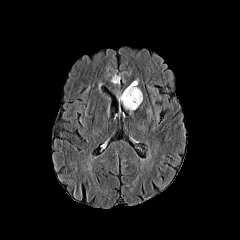
FLAIR magnetic resonance.
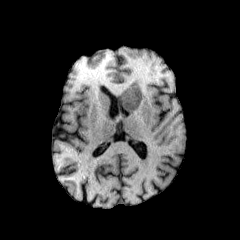
Same slice, T1-weighted MRI.
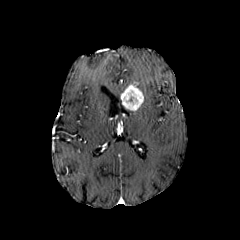
Same slice, post-contrast T1-weighted MR.
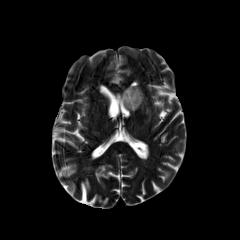
Same slice, T2-weighted MR.
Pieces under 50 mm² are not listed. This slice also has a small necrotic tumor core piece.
The enhancing tumor is located at <bbox>120, 84, 143, 110</bbox>. The peritumoral edema appears at <bbox>111, 76, 119, 83</bbox>.